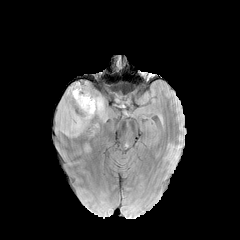
FLAIR MRI.
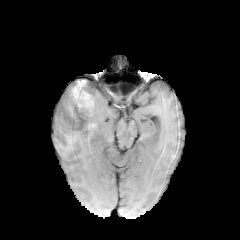
T1-weighted MRI.
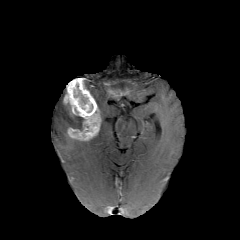
Post-contrast T1-weighted MR image.
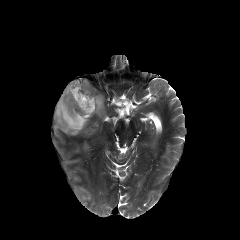
T2-weighted MR image of the same slice.
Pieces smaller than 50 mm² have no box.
necrotic tumor core: (82,123,95,136), (74,91,86,103)
enhancing tumor: (63,80,100,139)
peritumoral edema: (56,99,84,135), (93,96,106,120)